FLAIR MRI.
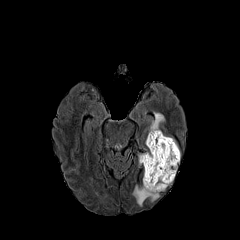
T1-weighted MR image.
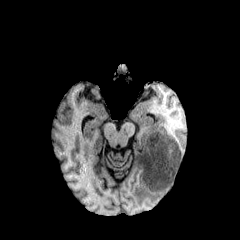
Post-contrast T1-weighted magnetic resonance.
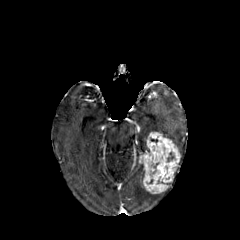
T2-weighted MR image.
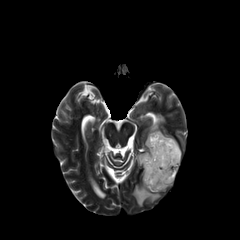
Brain.
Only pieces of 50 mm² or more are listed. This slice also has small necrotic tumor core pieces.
Annotated regions:
* enhancing tumor: [x1=139, y1=132, x2=180, y2=193]
* peritumoral edema: [x1=144, y1=112, x2=164, y2=134], [x1=132, y1=183, x2=160, y2=206]